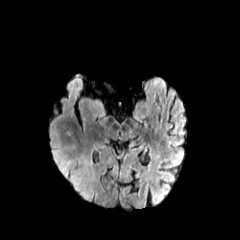
FLAIR magnetic resonance.
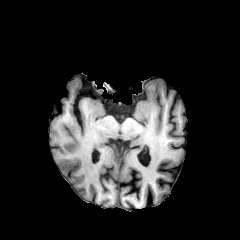
T1-weighted magnetic resonance.
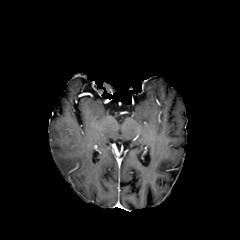
Post-contrast T1-weighted magnetic resonance of the same slice.
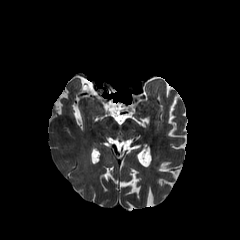
T2-weighted MRI.
Image size 240x240 | Brain | Axial slice
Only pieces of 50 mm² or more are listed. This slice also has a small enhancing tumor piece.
peritumoral_edema:
  - 49 124 94 200